Axial slice; Head; Slice 57/155
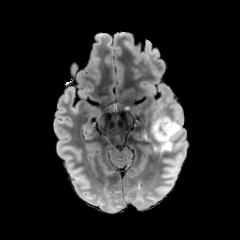
FLAIR MR image.
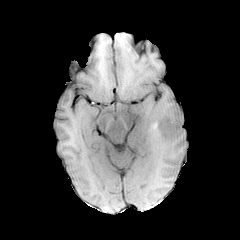
T1-weighted magnetic resonance of the same slice.
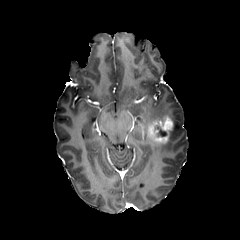
Post-contrast T1-weighted MR image of the same slice.
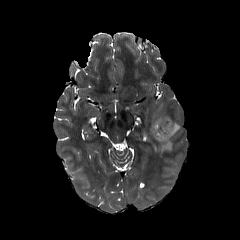
T2-weighted MRI.
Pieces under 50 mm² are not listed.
enhancing tumor at <bbox>147, 116, 173, 144</bbox>
necrotic tumor core at <bbox>157, 126, 166, 136</bbox>
peritumoral edema at <bbox>154, 111, 181, 153</bbox>